Image size 240x240; Slice index 75; Brain; Axial slice
FLAIR MR image.
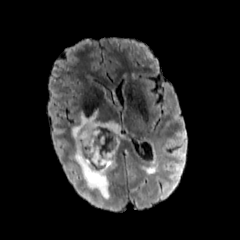
T1-weighted MR.
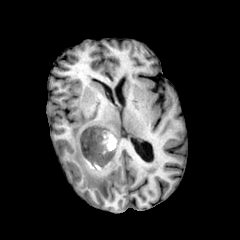
Post-contrast T1-weighted MR image.
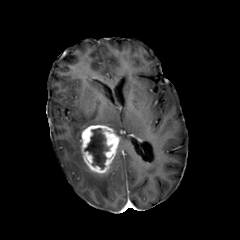
T2-weighted MR image.
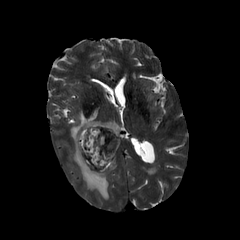
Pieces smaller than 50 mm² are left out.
peritumoral edema — 71,110,121,199
necrotic tumor core — 85,128,109,169
enhancing tumor — 80,125,119,173